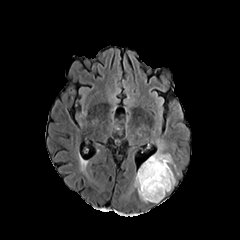
FLAIR MR.
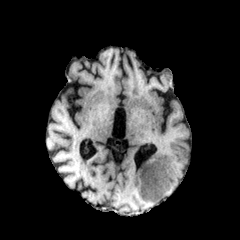
T1-weighted magnetic resonance.
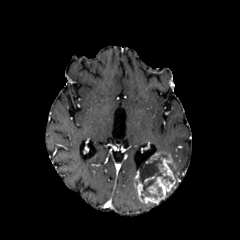
Post-contrast T1-weighted magnetic resonance of the same slice.
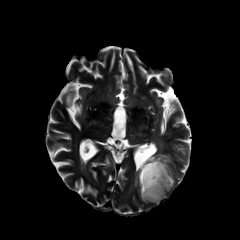
T2-weighted MR.
Brain
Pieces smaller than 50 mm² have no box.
<segmentation>
  <peritumoral_edema>{"x1": 123, "y1": 182, "x2": 134, "y2": 198}, {"x1": 157, "y1": 140, "x2": 167, "y2": 157}</peritumoral_edema>
  <enhancing_tumor>{"x1": 134, "y1": 152, "x2": 175, "y2": 203}</enhancing_tumor>
  <necrotic_tumor_core>{"x1": 139, "y1": 158, "x2": 162, "y2": 196}</necrotic_tumor_core>
</segmentation>